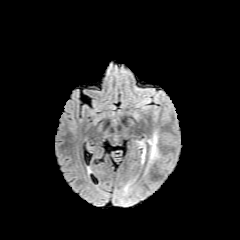
FLAIR magnetic resonance.
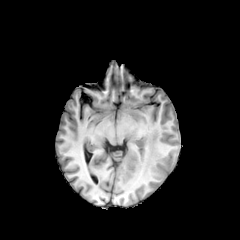
T1-weighted MRI of the same slice.
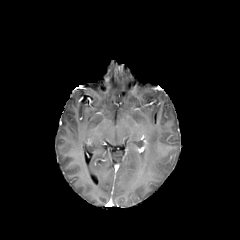
Post-contrast T1-weighted magnetic resonance.
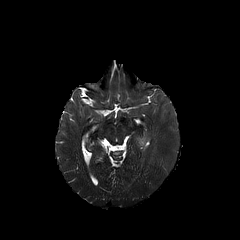
T2-weighted MRI of the same slice.
Head
peritumoral edema: <bbox>140, 142, 146, 160</bbox>, <bbox>149, 133, 159, 164</bbox>